FLAIR MR image.
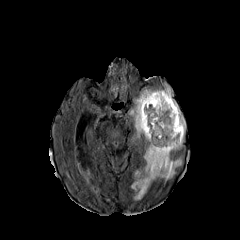
T1-weighted magnetic resonance.
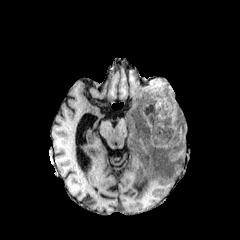
Post-contrast T1-weighted magnetic resonance.
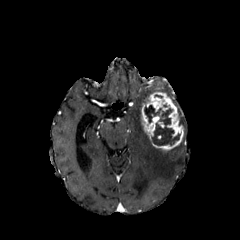
T2-weighted MRI.
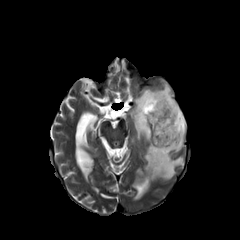
Brain
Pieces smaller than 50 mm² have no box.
necrotic_tumor_core:
  - region(144, 105, 180, 145)
peritumoral_edema:
  - region(129, 82, 185, 199)
enhancing_tumor:
  - region(141, 92, 183, 151)